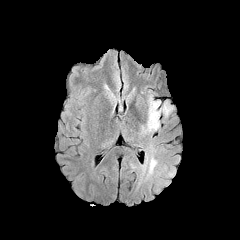
FLAIR MR image.
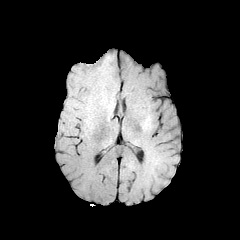
Same slice, T1-weighted MRI.
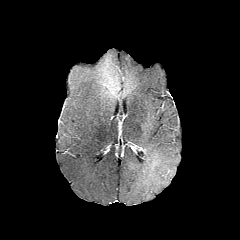
Post-contrast T1-weighted magnetic resonance of the same slice.
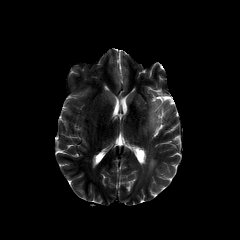
T2-weighted MRI of the same slice.
Annotated regions:
- peritumoral edema: rect(102, 133, 119, 146); rect(122, 91, 181, 182)